240x240; Head
FLAIR magnetic resonance.
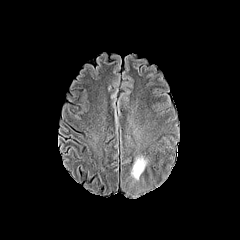
T1-weighted MR.
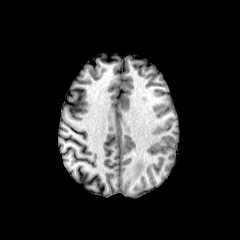
Post-contrast T1-weighted MR.
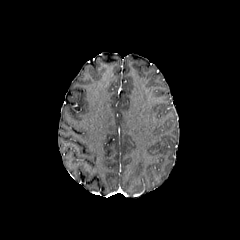
T2-weighted magnetic resonance.
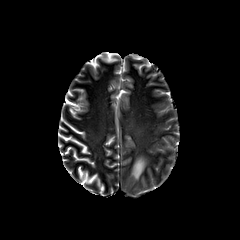
The peritumoral edema is at (x1=131, y1=157, x2=147, y2=179).